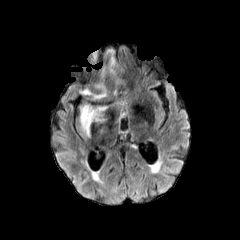
FLAIR magnetic resonance.
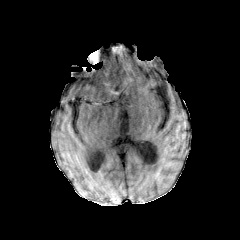
T1-weighted MRI of the same slice.
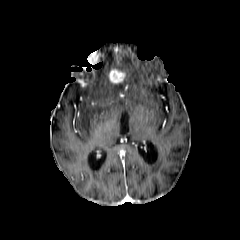
Same slice, post-contrast T1-weighted MR.
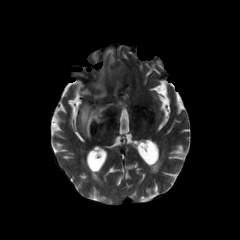
T2-weighted MR image.
Brain | Axial plane
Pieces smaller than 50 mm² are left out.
Segmented structures:
- peritumoral edema: (x1=106, y1=49, x2=114, y2=63), (x1=80, y1=105, x2=105, y2=135), (x1=93, y1=83, x2=106, y2=98), (x1=80, y1=89, x2=91, y2=94)
- enhancing tumor: (x1=108, y1=68, x2=124, y2=85)